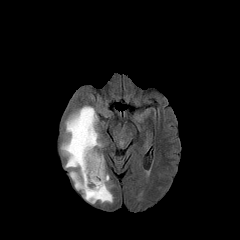
FLAIR MR.
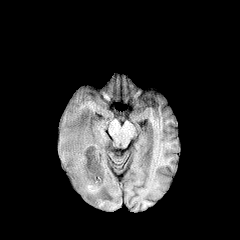
T1-weighted MR image.
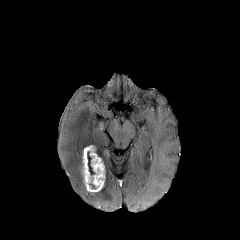
Post-contrast T1-weighted MR image of the same slice.
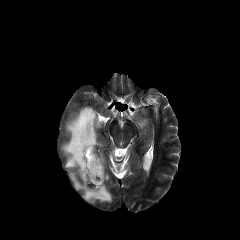
T2-weighted MR.
Head. 240x240 px.
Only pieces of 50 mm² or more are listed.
necrotic tumor core — (left=87, top=152, right=94, bottom=174)
peritumoral edema — (left=61, top=106, right=113, bottom=203)
enhancing tumor — (left=81, top=145, right=105, bottom=192)